Axial plane; Slice index 63; Image size 240x240
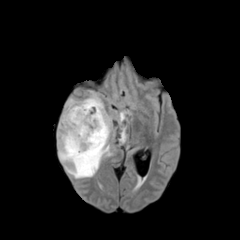
FLAIR magnetic resonance.
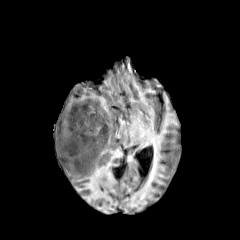
T1-weighted MRI.
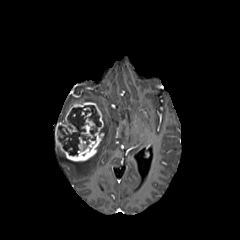
Post-contrast T1-weighted MR.
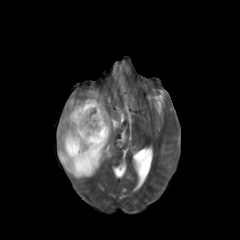
T2-weighted MR.
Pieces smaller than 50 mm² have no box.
peritumoral edema at [120, 128, 125, 141], [61, 98, 78, 119], [58, 90, 111, 178]
necrotic tumor core at [58, 105, 101, 155]
enhancing tumor at [55, 101, 104, 161]